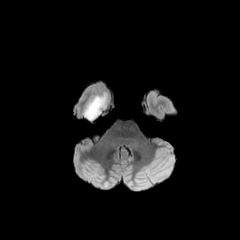
FLAIR MRI.
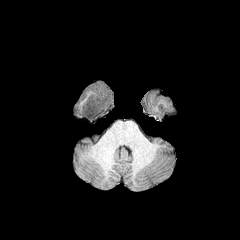
Same slice, T1-weighted magnetic resonance.
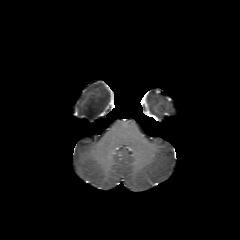
Post-contrast T1-weighted MRI.
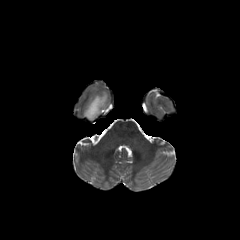
T2-weighted MR.
Image size 240x240. Brain.
peritumoral edema = [83, 92, 107, 120]